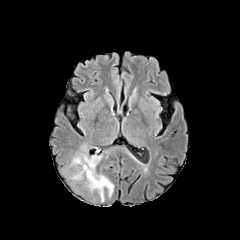
FLAIR MR.
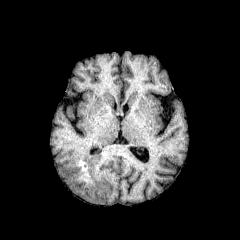
T1-weighted MR of the same slice.
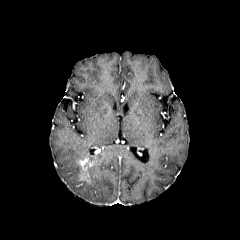
Post-contrast T1-weighted MR image.
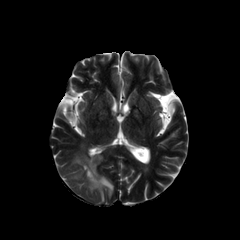
T2-weighted magnetic resonance.
Axial plane. 240x240. Head.
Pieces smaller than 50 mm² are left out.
enhancing tumor: bounding box bbox=[82, 157, 96, 168]
peritumoral edema: bounding box bbox=[86, 163, 113, 200]; bbox=[72, 154, 86, 163]